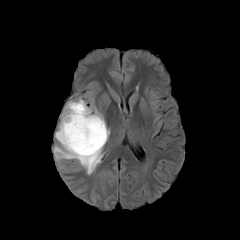
FLAIR MRI.
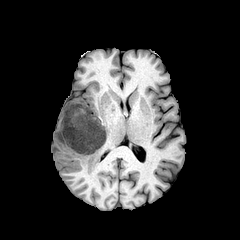
T1-weighted MR image.
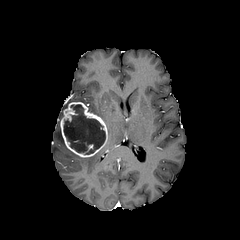
Post-contrast T1-weighted MRI.
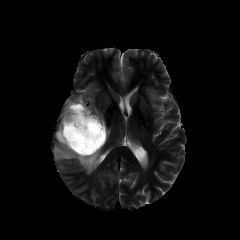
T2-weighted MR.
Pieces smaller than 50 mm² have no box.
Findings:
* peritumoral edema: 53 124 102 174
* necrotic tumor core: 64 104 105 154
* enhancing tumor: 60 102 107 157